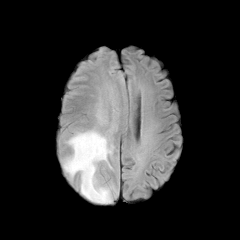
FLAIR MRI.
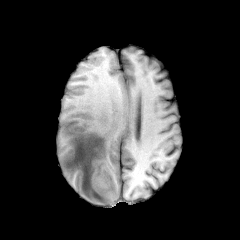
T1-weighted MR image of the same slice.
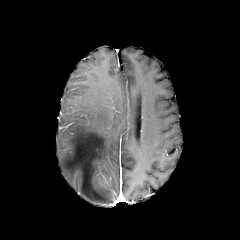
Same slice, post-contrast T1-weighted MR.
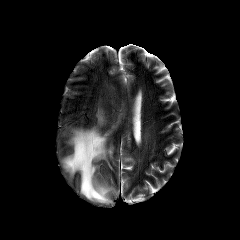
T2-weighted magnetic resonance.
Axial plane
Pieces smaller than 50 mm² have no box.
Findings:
- peritumoral edema: 96 109 105 125, 62 127 114 203